Axial view; Slice index 102; Brain
FLAIR MRI.
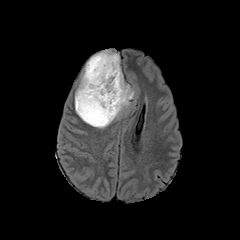
T1-weighted MRI.
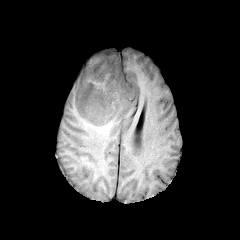
Post-contrast T1-weighted MRI.
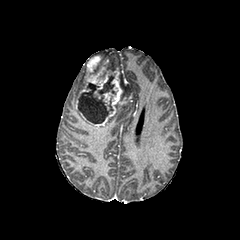
T2-weighted magnetic resonance.
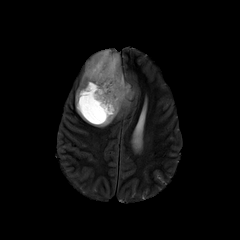
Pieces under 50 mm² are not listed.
necrotic tumor core: [x1=78, y1=76, x2=114, y2=123] | peritumoral edema: [x1=75, y1=49, x2=133, y2=128] | enhancing tumor: [x1=92, y1=68, x2=126, y2=126], [x1=76, y1=56, x2=108, y2=116]